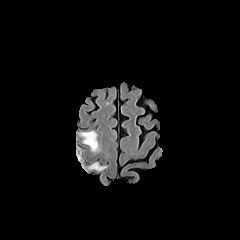
FLAIR MR image.
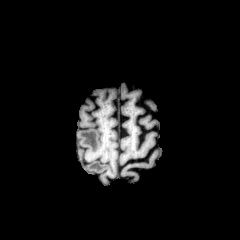
T1-weighted MR.
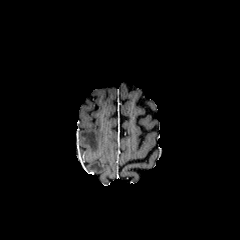
Post-contrast T1-weighted MRI.
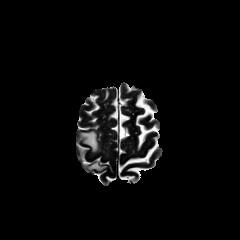
T2-weighted MR image.
Axial view.
2 peritumoral edema regions are bounded by (x1=88, y1=162, x2=106, y2=170), (x1=80, y1=131, x2=100, y2=152).